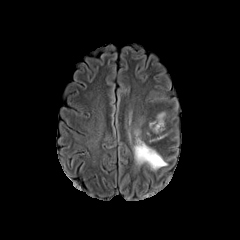
FLAIR MR.
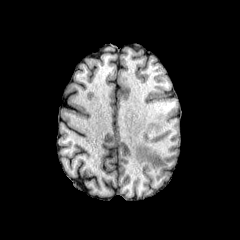
T1-weighted magnetic resonance.
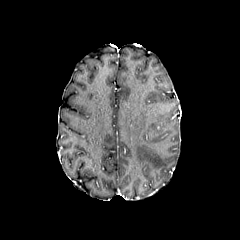
Post-contrast T1-weighted MR image.
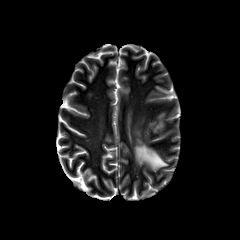
T2-weighted MR image.
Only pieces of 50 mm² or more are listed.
- peritumoral edema: [155, 113, 164, 130], [134, 139, 167, 169]